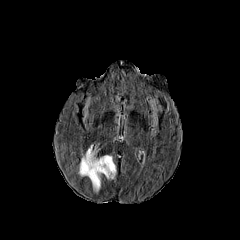
FLAIR MR.
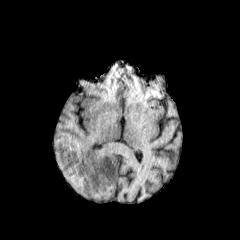
T1-weighted magnetic resonance.
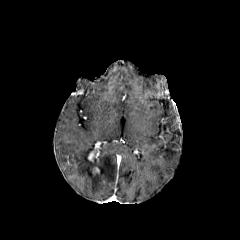
Same slice, post-contrast T1-weighted MR.
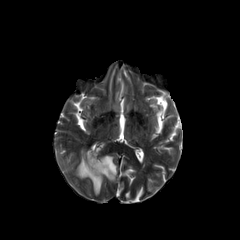
T2-weighted MR image.
Axial view.
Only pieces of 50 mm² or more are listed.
enhancing tumor: bounding box region(88, 151, 98, 161)
peritumoral edema: bounding box region(78, 146, 116, 192)